FLAIR MRI.
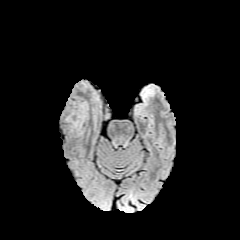
T1-weighted MR image.
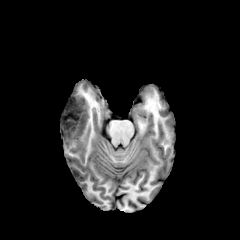
Post-contrast T1-weighted MR.
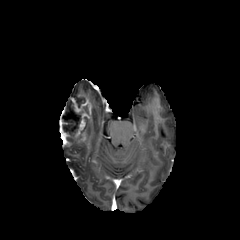
T2-weighted MR.
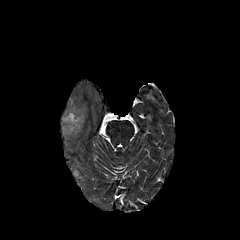
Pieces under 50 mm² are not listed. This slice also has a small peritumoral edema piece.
{
  "necrotic_tumor_core": [
    "x1=76, y1=97, x2=85, y2=107",
    "x1=62, y1=99, x2=81, y2=135"
  ],
  "enhancing_tumor": [
    "x1=60, y1=94, x2=91, y2=145"
  ]
}